FLAIR MR image.
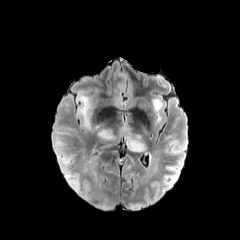
T1-weighted MR image.
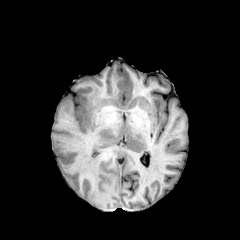
Post-contrast T1-weighted MRI.
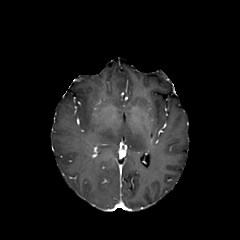
T2-weighted MRI.
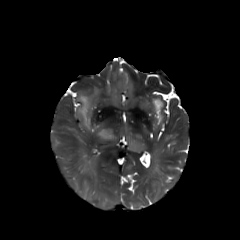
Axial view
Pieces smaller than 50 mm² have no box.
The 4 largest peritumoral edema regions are bounded by [97,129,114,140], [77,93,98,131], [153,99,161,110], [123,126,145,151].